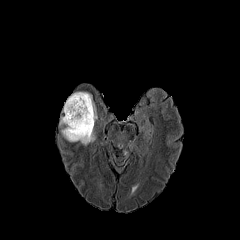
FLAIR magnetic resonance.
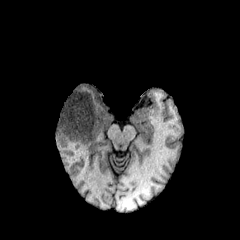
T1-weighted MR of the same slice.
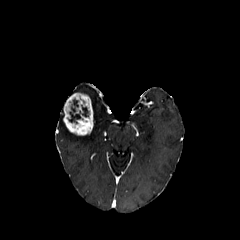
Post-contrast T1-weighted MRI.
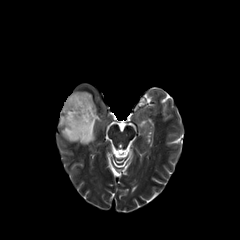
T2-weighted MR of the same slice.
Image size 240x240
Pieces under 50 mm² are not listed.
{
  "necrotic_tumor_core": [
    "[x1=81, y1=105, x2=88, y2=116]",
    "[x1=69, y1=112, x2=80, y2=123]"
  ],
  "enhancing_tumor": [
    "[x1=63, y1=92, x2=93, y2=135]"
  ],
  "peritumoral_edema": [
    "[x1=59, y1=116, x2=95, y2=145]",
    "[x1=80, y1=92, x2=97, y2=125]"
  ]
}